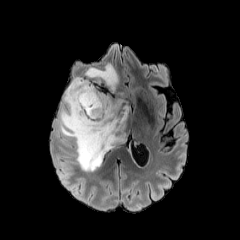
FLAIR MRI.
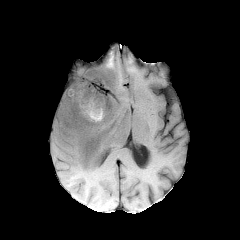
T1-weighted magnetic resonance.
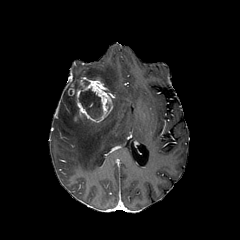
Post-contrast T1-weighted MRI.
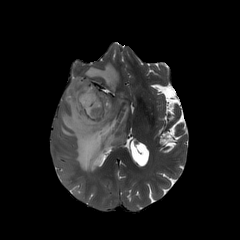
Same slice, T2-weighted magnetic resonance.
Axial plane | Head
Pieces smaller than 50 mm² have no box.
Findings:
- necrotic tumor core: x1=73 y1=82 x2=102 y2=119
- peritumoral edema: x1=57 y1=85 x2=129 y2=171, x1=70 y1=63 x2=118 y2=92
- enhancing tumor: x1=68 y1=77 x2=113 y2=123